Axial slice, Slice index 78, Brain
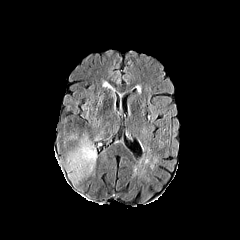
FLAIR MR image.
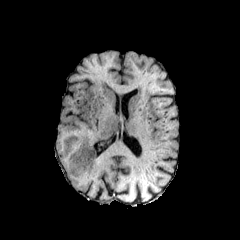
T1-weighted MR image of the same slice.
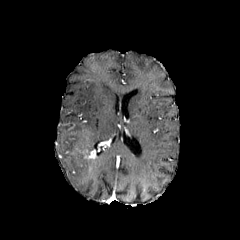
Post-contrast T1-weighted MRI.
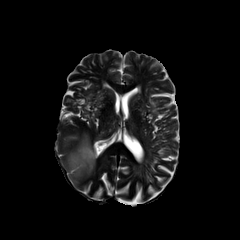
Same slice, T2-weighted MR image.
enhancing tumor = (x1=83, y1=149, x2=95, y2=158)
peritumoral edema = (x1=67, y1=137, x2=97, y2=181)